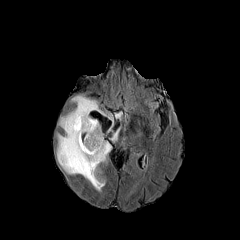
FLAIR MR image.
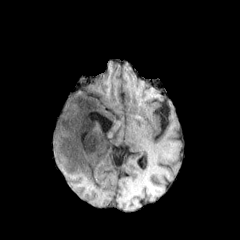
Same slice, T1-weighted magnetic resonance.
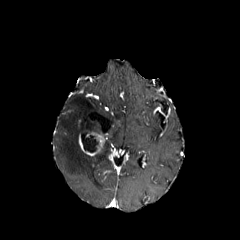
Post-contrast T1-weighted MR.
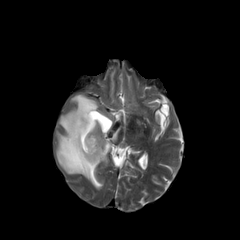
T2-weighted MR.
Axial plane, Head
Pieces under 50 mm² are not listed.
peritumoral edema — region(110, 126, 121, 142); region(57, 95, 112, 192)
enhancing tumor — region(79, 132, 104, 156)
necrotic tumor core — region(82, 135, 98, 152)